Image width 240 mm. Axial plane. Head.
FLAIR MRI.
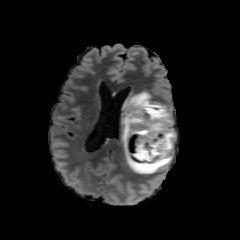
T1-weighted MR image.
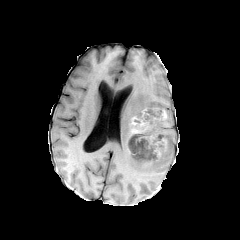
Post-contrast T1-weighted MR.
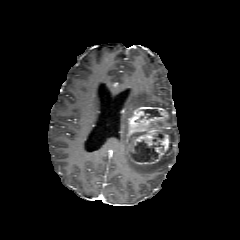
T2-weighted magnetic resonance.
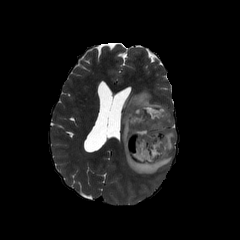
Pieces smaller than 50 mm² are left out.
<segmentation>
  <necrotic_tumor_core>bbox(132, 141, 158, 162); bbox(143, 109, 161, 117); bbox(153, 133, 163, 141); bbox(133, 131, 146, 140)</necrotic_tumor_core>
  <enhancing_tumor>bbox(127, 106, 170, 168)</enhancing_tumor>
  <peritumoral_edema>bbox(122, 91, 175, 174)</peritumoral_edema>
</segmentation>